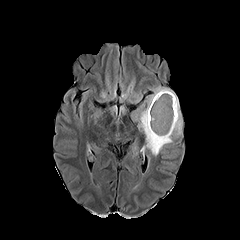
FLAIR MRI.
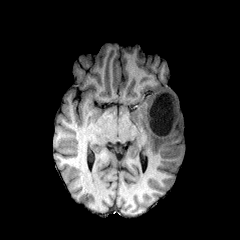
T1-weighted magnetic resonance of the same slice.
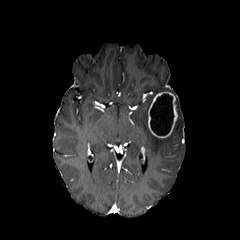
Post-contrast T1-weighted magnetic resonance.
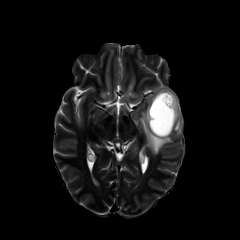
Same slice, T2-weighted magnetic resonance.
Axial plane
The enhancing tumor is located at x1=148, y1=91, x2=177, y2=138. The peritumoral edema lies within x1=139, y1=87, x2=182, y2=155. The necrotic tumor core is bounded by x1=150, y1=93, x2=174, y2=135.